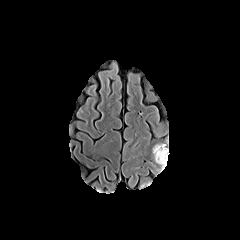
FLAIR magnetic resonance.
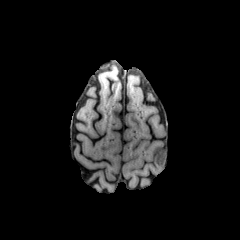
T1-weighted MR.
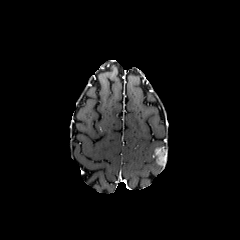
Post-contrast T1-weighted MR image of the same slice.
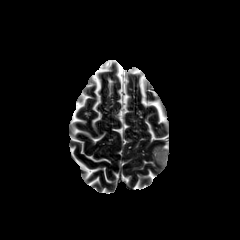
Same slice, T2-weighted MRI.
Head
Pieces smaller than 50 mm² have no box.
{
  "peritumoral_edema": [
    "152 144 165 155"
  ],
  "enhancing_tumor": [
    "155 146 167 167"
  ]
}